FLAIR magnetic resonance.
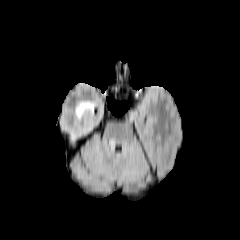
T1-weighted MR.
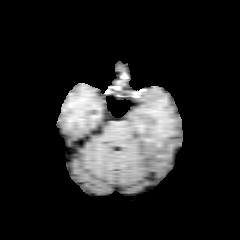
Post-contrast T1-weighted MR image.
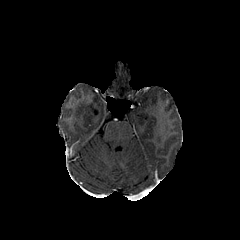
T2-weighted MRI.
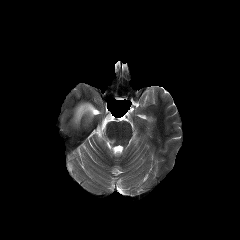
Head
<segmentation>
  <peritumoral_edema>[x1=75, y1=101, x2=93, y2=120]</peritumoral_edema>
</segmentation>